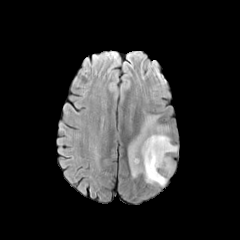
FLAIR MR.
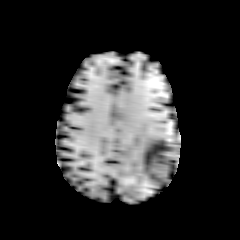
T1-weighted MRI.
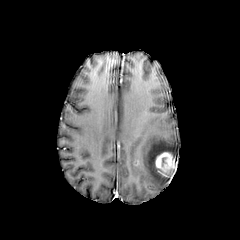
Same slice, post-contrast T1-weighted MRI.
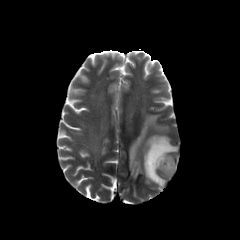
T2-weighted MR image of the same slice.
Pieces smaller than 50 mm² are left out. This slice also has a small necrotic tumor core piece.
<segmentation>
  <peritumoral_edema>129 115 177 187</peritumoral_edema>
  <enhancing_tumor>155 152 175 176</enhancing_tumor>
</segmentation>